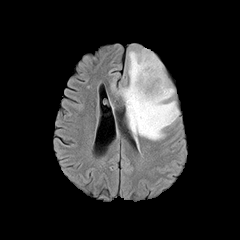
FLAIR MR.
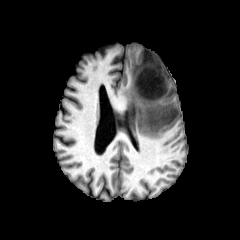
T1-weighted magnetic resonance of the same slice.
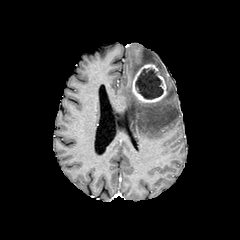
Post-contrast T1-weighted MR image.
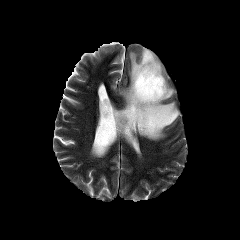
T2-weighted MR image of the same slice.
Head | Axial slice
* enhancing tumor: [132,64,166,103]
* peritumoral edema: [119,48,179,140]
* necrotic tumor core: [135,68,163,99]